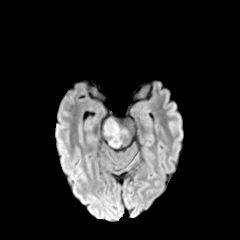
FLAIR MRI.
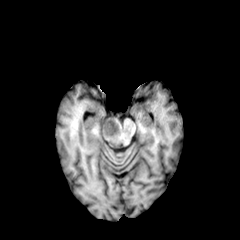
T1-weighted MR image.
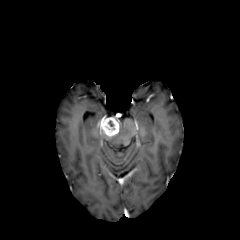
Post-contrast T1-weighted MR.
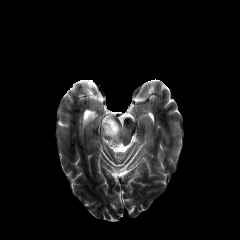
T2-weighted MR.
Axial slice | Image size 240x240 | Head
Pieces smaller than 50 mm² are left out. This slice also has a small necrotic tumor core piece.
enhancing tumor at 99 117 119 137
peritumoral edema at 109 128 124 146